Axial view
FLAIR MR image.
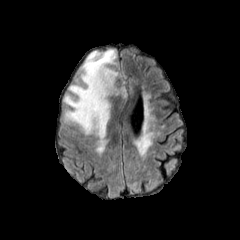
T1-weighted MR.
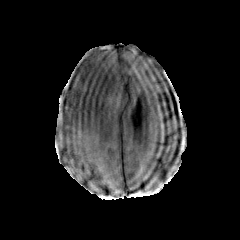
Post-contrast T1-weighted magnetic resonance.
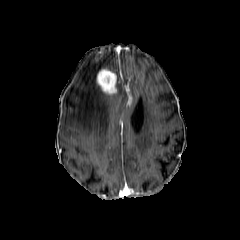
T2-weighted MR image.
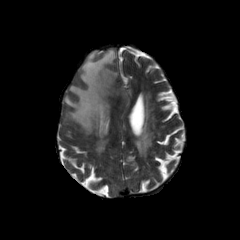
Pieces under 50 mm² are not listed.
enhancing tumor = 96:68:117:94
peritumoral edema = 63:49:129:135